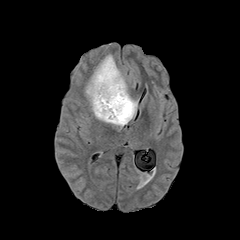
FLAIR MR.
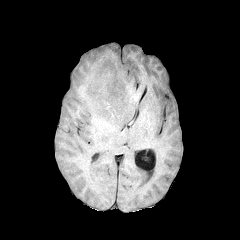
Same slice, T1-weighted magnetic resonance.
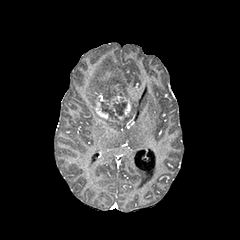
Same slice, post-contrast T1-weighted magnetic resonance.
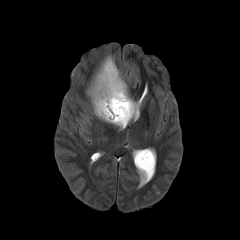
T2-weighted magnetic resonance of the same slice.
Axial view | Head
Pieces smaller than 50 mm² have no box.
2 enhancing tumor regions are bounded by 98, 72, 115, 80; 95, 84, 131, 121. The peritumoral edema is at 85, 54, 137, 127. The largest necrotic tumor core region is at 111, 101, 127, 115.